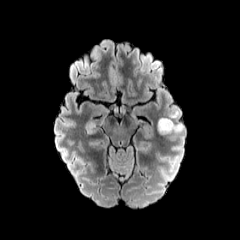
FLAIR MR image.
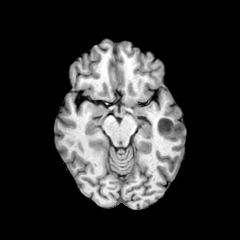
T1-weighted MR image of the same slice.
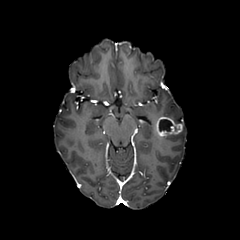
Same slice, post-contrast T1-weighted MR image.
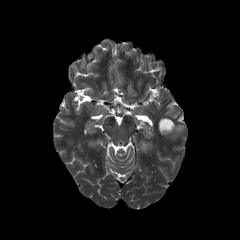
T2-weighted MR of the same slice.
Brain
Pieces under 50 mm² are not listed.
The necrotic tumor core is bounded by <box>159,119,172,131</box>. The largest peritumoral edema region is located at <box>168,111,179,120</box>. The enhancing tumor is located at <box>156,116,182,136</box>.